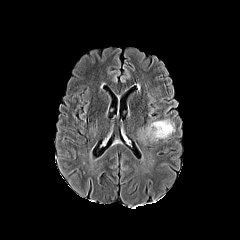
FLAIR MR image.
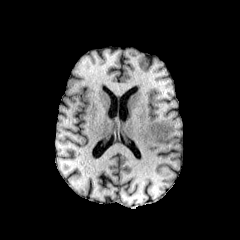
T1-weighted MRI.
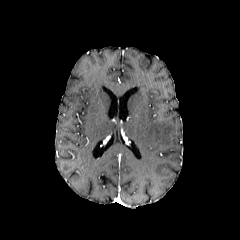
Post-contrast T1-weighted magnetic resonance of the same slice.
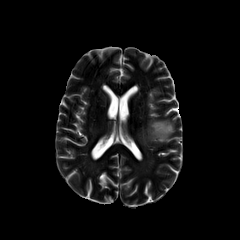
Same slice, T2-weighted MRI.
Brain, 240x240
The peritumoral edema is at bbox=[146, 119, 174, 140].